FLAIR magnetic resonance.
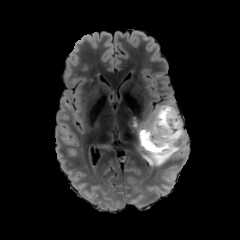
T1-weighted MR image.
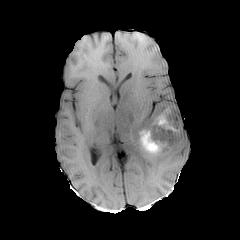
Post-contrast T1-weighted MRI.
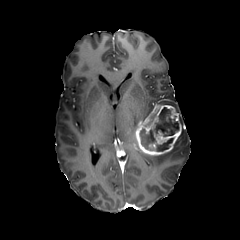
T2-weighted magnetic resonance.
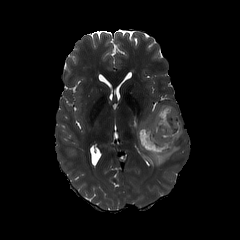
Brain | 240x240
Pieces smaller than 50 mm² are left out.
Annotated regions:
* necrotic tumor core: <box>140,107,179,151</box>
* peritumoral edema: <box>140,129,184,166</box>, <box>133,121,138,143</box>
* enhancing tumor: <box>135,104,182,155</box>